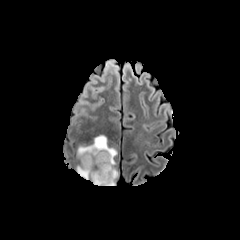
FLAIR MR.
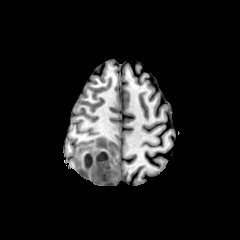
T1-weighted magnetic resonance of the same slice.
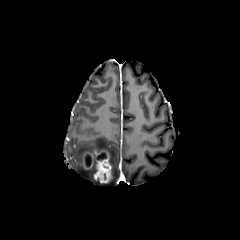
Post-contrast T1-weighted MR.
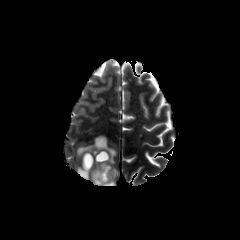
Same slice, T2-weighted magnetic resonance.
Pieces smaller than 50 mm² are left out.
enhancing_tumor:
  - (83,151,93,170)
  - (93,150,112,183)
necrotic_tumor_core:
  - (85,155,92,167)
  - (94,152,106,166)
peritumoral_edema:
  - (77,135,118,184)